FLAIR MRI.
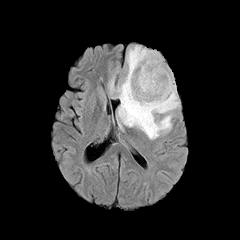
T1-weighted MRI.
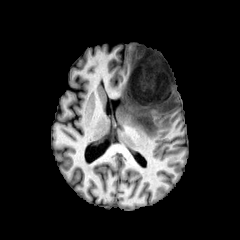
Post-contrast T1-weighted magnetic resonance.
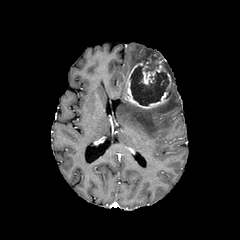
T2-weighted MR.
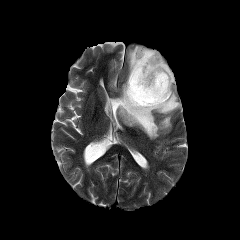
240x240 px. Axial slice. Brain.
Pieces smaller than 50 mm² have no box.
The largest enhancing tumor region appears at [123, 52, 174, 109]. The 2 largest necrotic tumor core regions are located at [145, 56, 158, 72], [130, 65, 169, 105]. The largest peritumoral edema region is located at [109, 45, 179, 139].